Axial plane, Image width 240 mm, 1.00 mm slice spacing
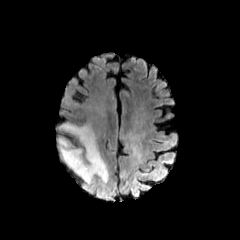
FLAIR magnetic resonance.
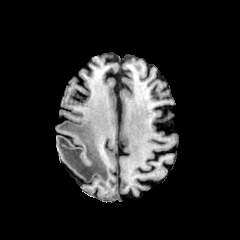
T1-weighted MRI.
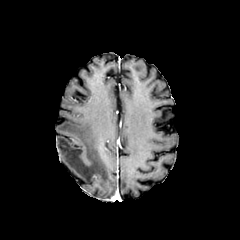
Same slice, post-contrast T1-weighted MRI.
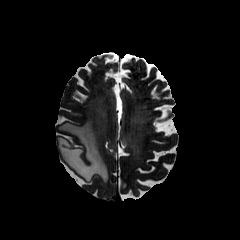
T2-weighted magnetic resonance of the same slice.
peritumoral edema: bounding box bbox(57, 122, 108, 184)